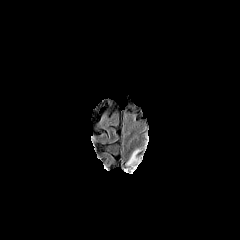
FLAIR MR image.
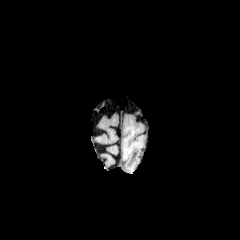
T1-weighted MR of the same slice.
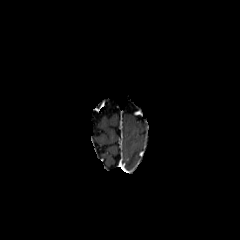
Post-contrast T1-weighted MR image.
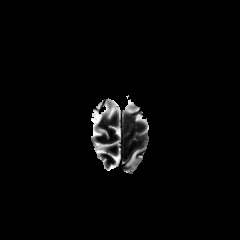
Same slice, T2-weighted magnetic resonance.
{"peritumoral_edema": ["l=125, t=148, r=141, b=165"]}